Image width 240 mm, 1.00 mm slice spacing; Slice 88/155; Axial view
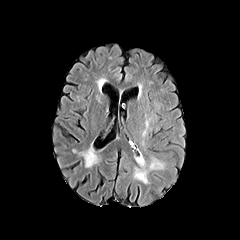
FLAIR magnetic resonance.
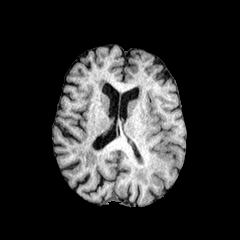
Same slice, T1-weighted MR image.
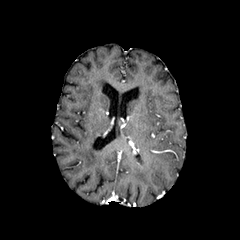
Post-contrast T1-weighted magnetic resonance of the same slice.
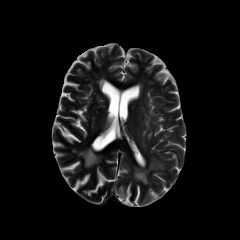
T2-weighted MRI.
<segmentation>
  <peritumoral_edema>{"x1": 135, "y1": 155, "x2": 145, "y2": 169}</peritumoral_edema>
</segmentation>